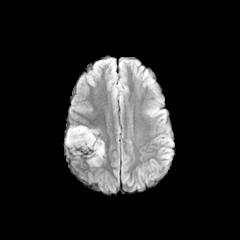
FLAIR MRI.
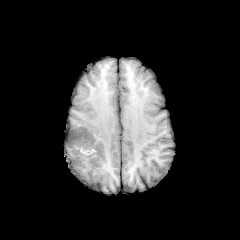
T1-weighted magnetic resonance of the same slice.
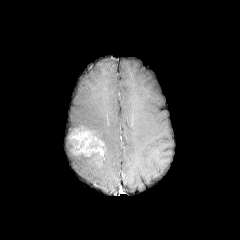
Post-contrast T1-weighted MR.
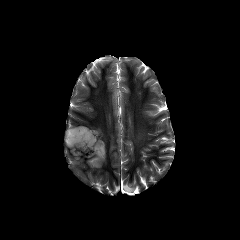
T2-weighted MR of the same slice.
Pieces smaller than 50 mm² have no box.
peritumoral edema: (88,153,98,166) | enhancing tumor: (67,127,105,165)